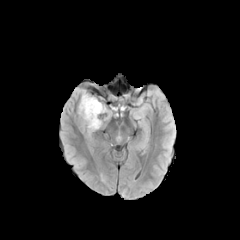
FLAIR magnetic resonance.
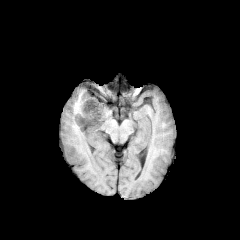
T1-weighted MR of the same slice.
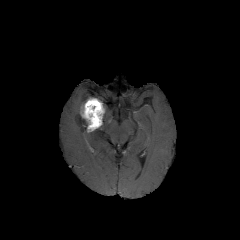
Same slice, post-contrast T1-weighted MR.
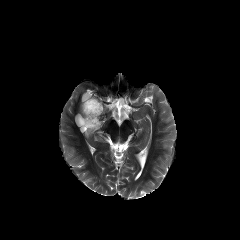
T2-weighted MRI.
Axial plane | Head
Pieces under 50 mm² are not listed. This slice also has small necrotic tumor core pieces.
- peritumoral edema: l=76, t=101, r=82, b=115; l=98, t=107, r=112, b=129
- enhancing tumor: l=80, t=95, r=105, b=132